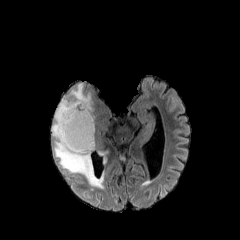
FLAIR MR image.
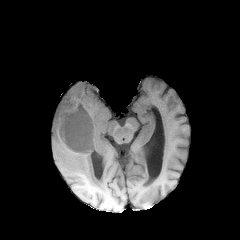
T1-weighted MR image.
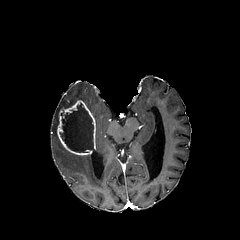
Same slice, post-contrast T1-weighted MRI.
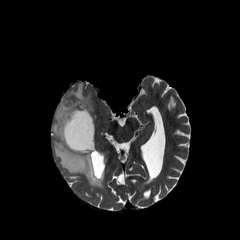
Same slice, T2-weighted MR image.
Brain | Axial slice
enhancing_tumor:
  - bbox=[57, 100, 95, 155]
peritumoral_edema:
  - bbox=[97, 149, 108, 163]
  - bbox=[52, 83, 104, 188]
necrotic_tumor_core:
  - bbox=[60, 103, 93, 152]